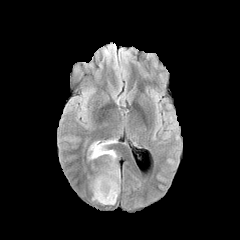
FLAIR MRI.
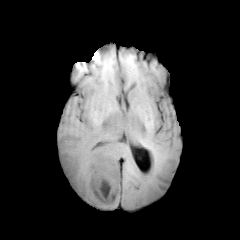
T1-weighted MR image.
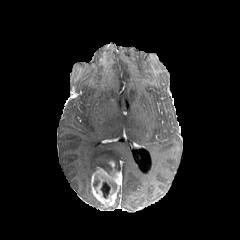
Same slice, post-contrast T1-weighted MR image.
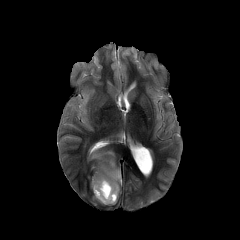
T2-weighted MR of the same slice.
Axial view; Brain
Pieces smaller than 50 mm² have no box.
The enhancing tumor is bounded by x1=91, y1=161, x2=121, y2=205. The largest necrotic tumor core region is at x1=101, y1=181, x2=110, y2=198. The largest peritumoral edema region appears at x1=88, y1=141, x2=116, y2=161.